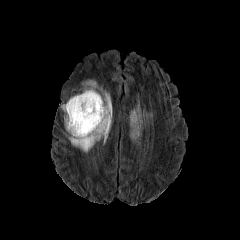
FLAIR magnetic resonance.
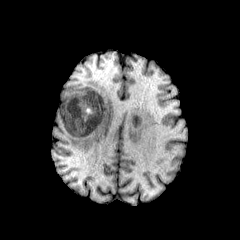
Same slice, T1-weighted MR image.
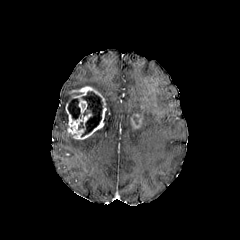
Post-contrast T1-weighted MR.
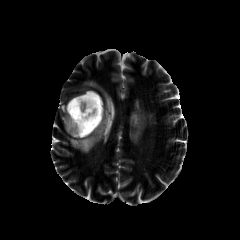
T2-weighted magnetic resonance.
Axial view.
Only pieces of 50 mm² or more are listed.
necrotic tumor core = x1=81, y1=91, x2=102, y2=136; x1=68, y1=98, x2=80, y2=119
peritumoral edema = x1=130, y1=126, x2=142, y2=141; x1=130, y1=104, x2=152, y2=119; x1=68, y1=80, x2=112, y2=152
enhancing tumor = x1=130, y1=113, x2=142, y2=129; x1=65, y1=86, x2=106, y2=139